FLAIR MR.
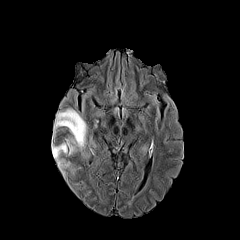
T1-weighted MR.
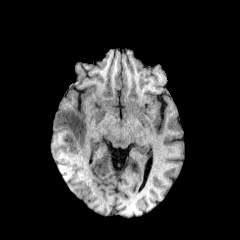
Post-contrast T1-weighted MR.
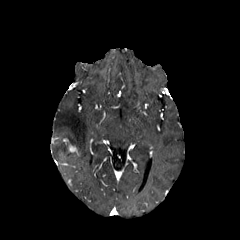
T2-weighted magnetic resonance.
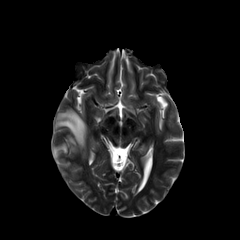
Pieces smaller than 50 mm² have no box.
The largest peritumoral edema region appears at 52 108 87 170. The enhancing tumor is at 68 145 77 152.